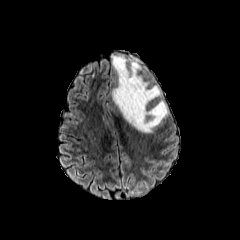
FLAIR MR image.
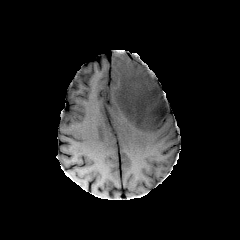
Same slice, T1-weighted MR image.
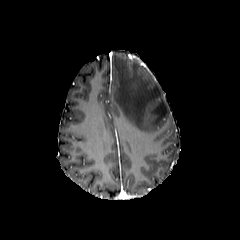
Post-contrast T1-weighted MR.
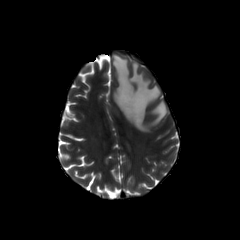
T2-weighted MRI.
240x240 | Axial view | Head
peritumoral edema: box=[112, 55, 168, 132]